Head; Slice 67/155; Image width 240 mm, 1.00 mm slice spacing
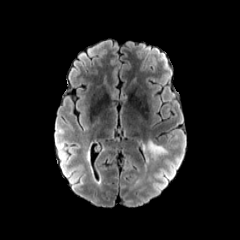
FLAIR MR image.
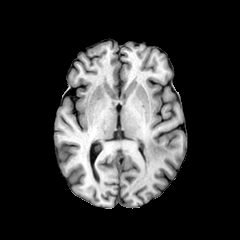
T1-weighted MR.
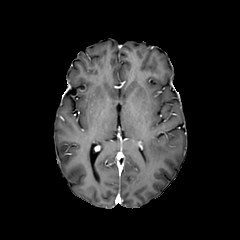
Same slice, post-contrast T1-weighted MRI.
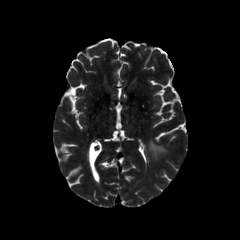
Same slice, T2-weighted MR image.
Findings:
* peritumoral edema: [x1=147, y1=141, x2=166, y2=156]